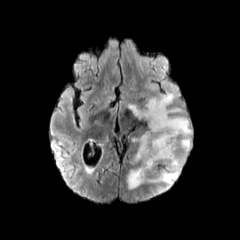
FLAIR MRI.
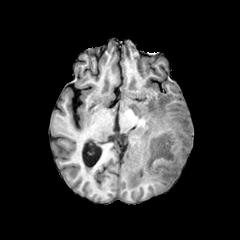
T1-weighted MR image.
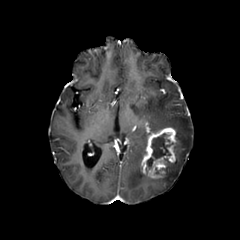
Post-contrast T1-weighted MR.
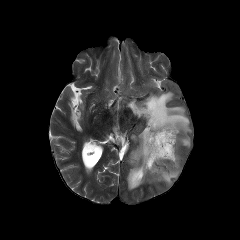
T2-weighted MR image of the same slice.
Head; Axial view
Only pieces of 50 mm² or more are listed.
Findings:
- enhancing tumor: rect(140, 127, 177, 179)
- necrotic tumor core: rect(146, 133, 173, 172)
- peritumoral edema: rect(126, 93, 192, 193)